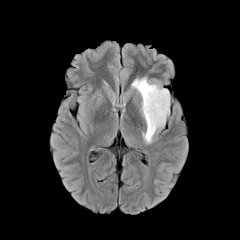
FLAIR MRI.
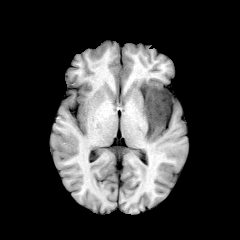
T1-weighted MR.
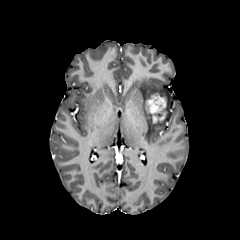
Same slice, post-contrast T1-weighted MRI.
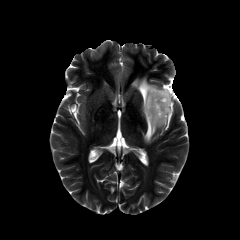
Same slice, T2-weighted magnetic resonance.
Axial slice
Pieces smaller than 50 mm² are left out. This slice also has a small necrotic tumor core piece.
Segmented structures:
* enhancing tumor: 146 93 166 123
* peritumoral edema: 131 77 170 143